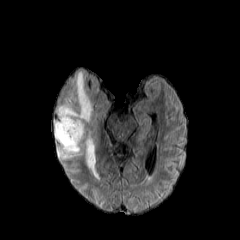
FLAIR magnetic resonance.
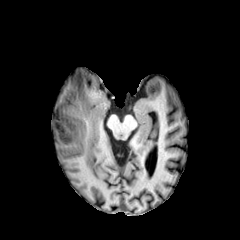
T1-weighted MRI.
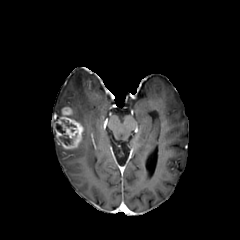
Post-contrast T1-weighted MR image of the same slice.
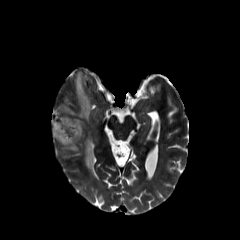
T2-weighted magnetic resonance.
240x240 | Brain | Axial plane
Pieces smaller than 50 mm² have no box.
enhancing tumor: [54,107,83,149] | peritumoral edema: [58,103,71,116], [57,71,98,178] | necrotic tumor core: [59,135,71,145], [56,124,65,133]